Image covers 240 mm x 240 mm. Head.
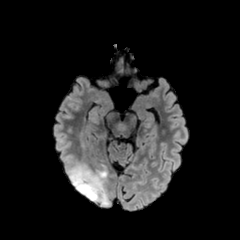
FLAIR MRI.
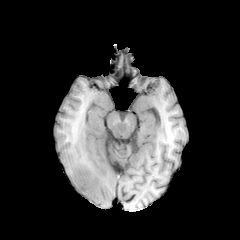
Same slice, T1-weighted MR image.
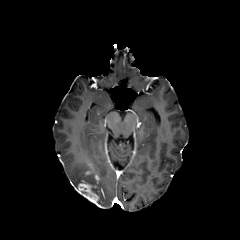
Post-contrast T1-weighted MR of the same slice.
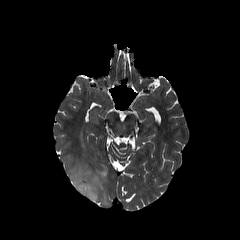
T2-weighted MR of the same slice.
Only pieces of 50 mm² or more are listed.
<segmentation>
  <peritumoral_edema>bbox(67, 162, 110, 205)</peritumoral_edema>
  <enhancing_tumor>bbox(78, 181, 98, 203)</enhancing_tumor>
</segmentation>